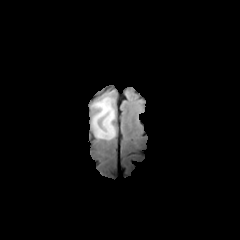
FLAIR MRI.
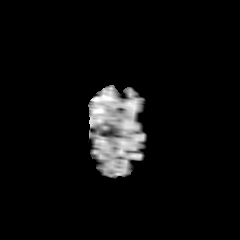
T1-weighted MRI of the same slice.
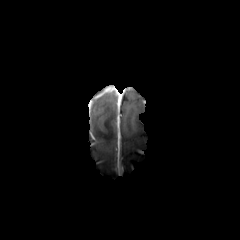
Post-contrast T1-weighted MRI.
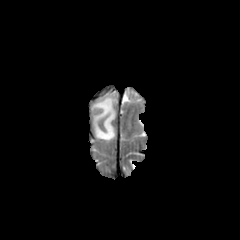
T2-weighted magnetic resonance.
240x240 px. Brain.
{
  "peritumoral_edema": [
    "x1=91 y1=93 x2=115 y2=141"
  ]
}